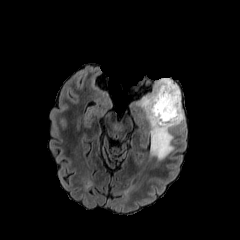
FLAIR MR.
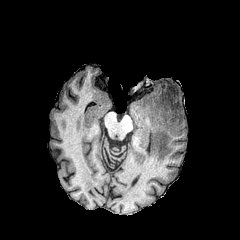
T1-weighted MRI of the same slice.
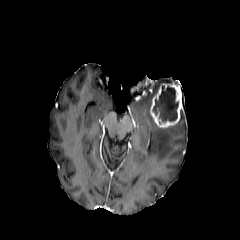
Same slice, post-contrast T1-weighted MRI.
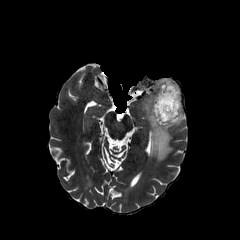
Same slice, T2-weighted MR.
Axial slice; Brain
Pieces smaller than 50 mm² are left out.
The largest peritumoral edema region is bounded by <box>138,78,185,160</box>. The enhancing tumor appears at <box>150,83,183,128</box>. The necrotic tumor core appears at <box>153,86,178,121</box>.